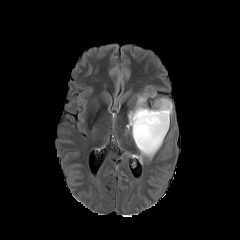
FLAIR magnetic resonance.
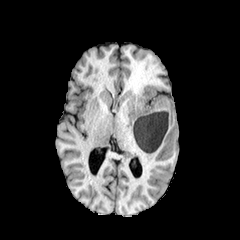
T1-weighted MRI.
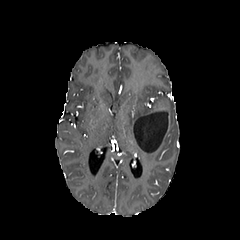
Same slice, post-contrast T1-weighted MRI.
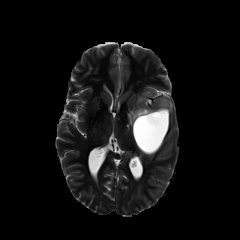
T2-weighted MR image.
240x240
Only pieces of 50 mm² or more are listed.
- peritumoral edema: {"x1": 126, "y1": 93, "x2": 172, "y2": 163}